Head. Axial plane. Slice 64 of 155.
FLAIR MR.
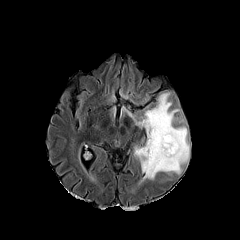
T1-weighted magnetic resonance.
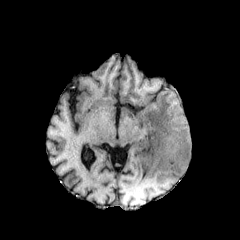
Post-contrast T1-weighted magnetic resonance.
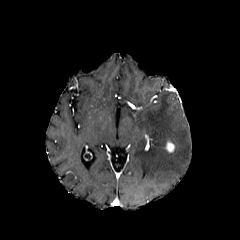
T2-weighted MR.
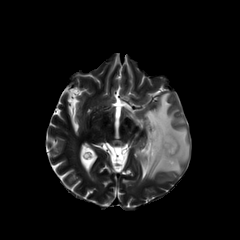
The enhancing tumor is at x1=165, y1=142, x2=174, y2=152. The peritumoral edema is at x1=124, y1=92, x2=190, y2=181.